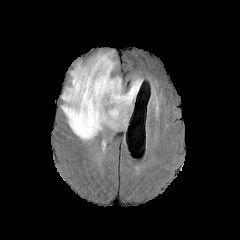
FLAIR MR image.
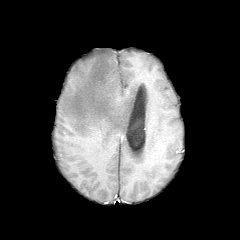
T1-weighted MRI.
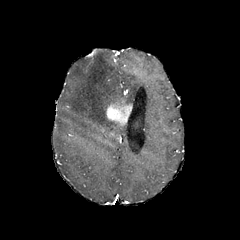
Post-contrast T1-weighted MRI.
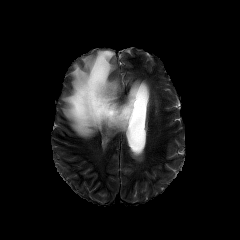
Same slice, T2-weighted MR image.
Brain
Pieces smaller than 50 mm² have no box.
The enhancing tumor is bounded by 105 103 132 125. The largest peritumoral edema region appears at 61 51 142 140.